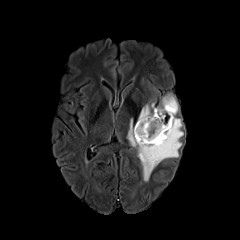
FLAIR MRI.
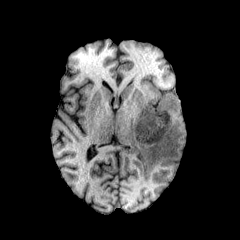
Same slice, T1-weighted MR.
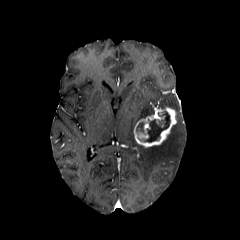
Post-contrast T1-weighted MRI of the same slice.
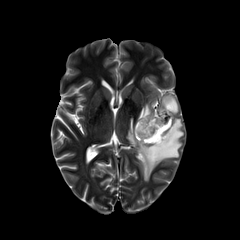
Same slice, T2-weighted magnetic resonance.
240x240
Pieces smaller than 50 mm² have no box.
Findings:
- enhancing tumor: bbox(133, 107, 176, 147)
- necrotic tumor core: bbox(144, 111, 170, 142); bbox(136, 122, 143, 132)
- peritumoral edema: bbox(138, 104, 154, 120); bbox(127, 117, 183, 181); bbox(158, 94, 178, 115)